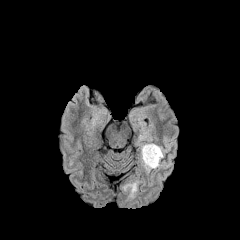
FLAIR magnetic resonance.
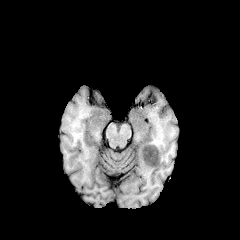
T1-weighted MRI of the same slice.
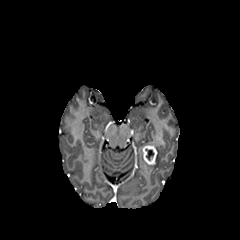
Post-contrast T1-weighted MR of the same slice.
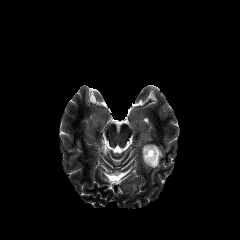
Same slice, T2-weighted magnetic resonance.
Findings:
* enhancing tumor: (left=142, top=145, right=157, bottom=165)
* peritumoral edema: (left=140, top=143, right=163, bottom=172), (left=123, top=182, right=137, bottom=197)
* necrotic tumor core: (left=146, top=149, right=154, bottom=160)